Axial view | Image width 240 mm | Slice 68 of 155
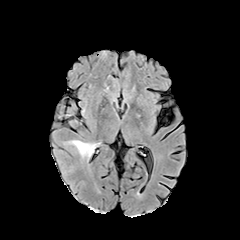
FLAIR MR.
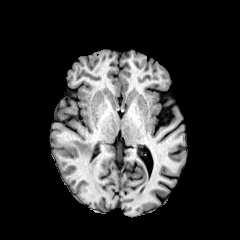
Same slice, T1-weighted magnetic resonance.
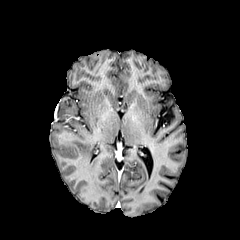
Same slice, post-contrast T1-weighted MR image.
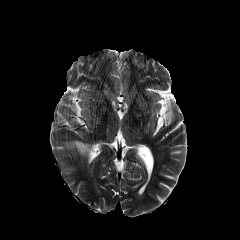
T2-weighted MRI of the same slice.
The peritumoral edema appears at box=[68, 140, 96, 157].